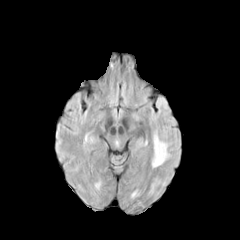
FLAIR MR.
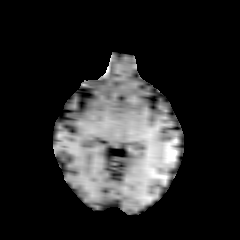
T1-weighted MR image of the same slice.
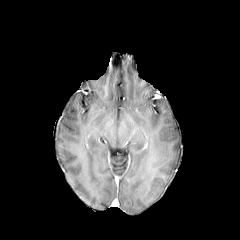
Post-contrast T1-weighted MR.
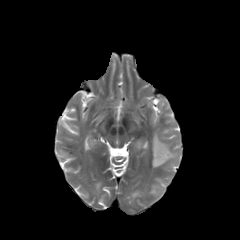
Same slice, T2-weighted MR image.
240x240 px, Brain
peritumoral edema: (left=152, top=132, right=170, bottom=167)